Head | Image size 240x240
FLAIR magnetic resonance.
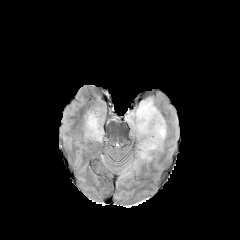
T1-weighted MRI.
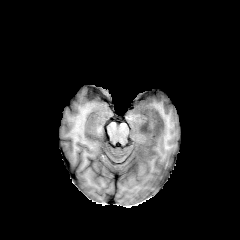
Post-contrast T1-weighted magnetic resonance.
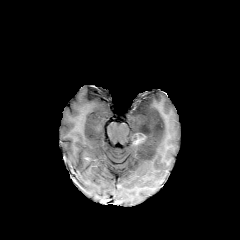
T2-weighted MR.
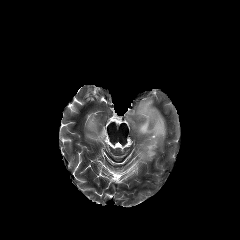
<segmentation>
  <peritumoral_edema>[85, 115, 103, 141], [120, 98, 166, 178]</peritumoral_edema>
  <enhancing_tumor>[134, 135, 145, 144]</enhancing_tumor>
</segmentation>